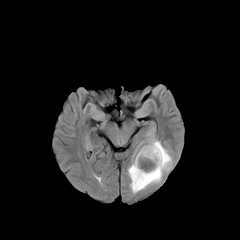
FLAIR MR image.
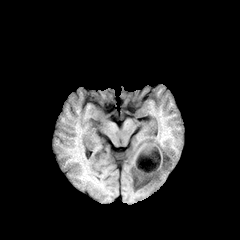
T1-weighted magnetic resonance of the same slice.
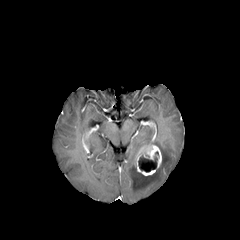
Post-contrast T1-weighted MR.
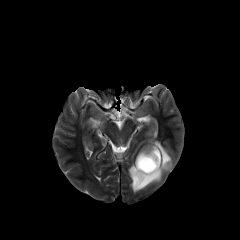
Same slice, T2-weighted MR.
Head
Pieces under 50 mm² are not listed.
The peritumoral edema appears at (128,130,172,193). The largest necrotic tumor core region is bounded by (138,155,157,172). The enhancing tumor lies within (135,145,162,175).